240x240; Head; Image width 240 mm, 1.00 mm slice spacing
FLAIR MRI.
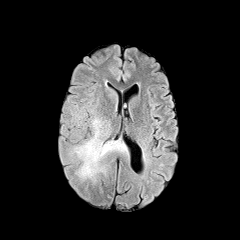
T1-weighted MRI.
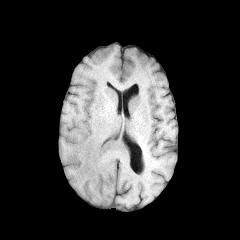
Post-contrast T1-weighted MRI.
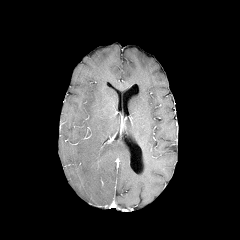
T2-weighted magnetic resonance.
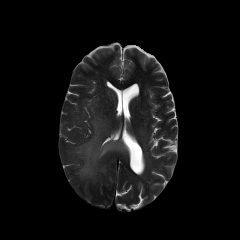
Annotated regions:
- peritumoral edema: (71,110,127,181)